FLAIR MR image.
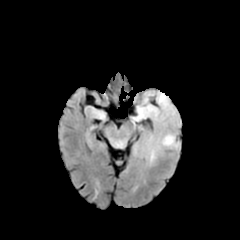
T1-weighted magnetic resonance.
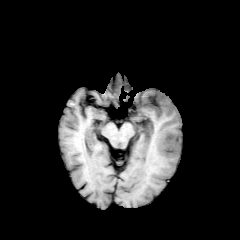
Post-contrast T1-weighted MR image.
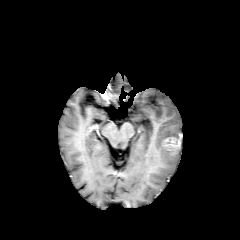
T2-weighted MR image.
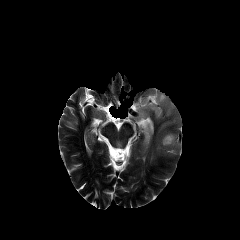
Axial slice; Head
{"peritumoral_edema": ["region(132, 90, 179, 126)", "region(146, 132, 180, 163)"], "enhancing_tumor": ["region(163, 137, 180, 152)"]}